FLAIR magnetic resonance.
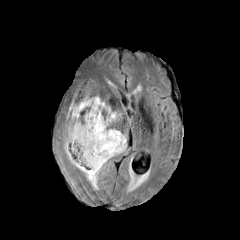
T1-weighted magnetic resonance.
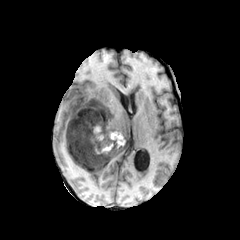
Post-contrast T1-weighted MR.
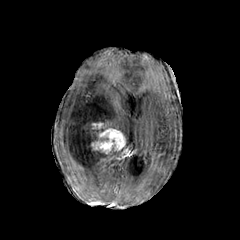
T2-weighted MR.
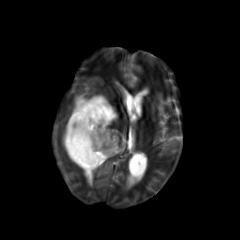
Axial view; Head
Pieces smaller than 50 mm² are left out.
enhancing tumor: x1=91 y1=122 x2=125 y2=163
necrotic tumor core: x1=97 y1=151 x2=107 y2=161, x1=75 y1=126 x2=98 y2=149, x1=76 y1=155 x2=86 y2=167
peritumoral edema: x1=63 y1=94 x2=116 y2=188